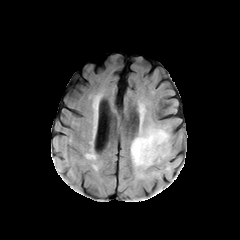
FLAIR MRI.
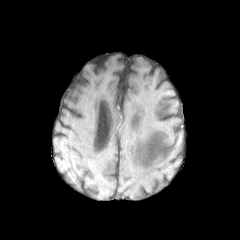
T1-weighted MRI.
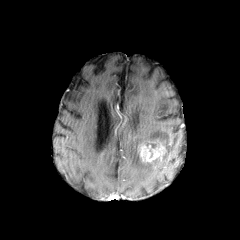
Post-contrast T1-weighted MR image of the same slice.
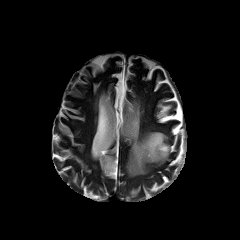
T2-weighted magnetic resonance.
Axial plane.
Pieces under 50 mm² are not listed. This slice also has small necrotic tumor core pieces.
peritumoral edema at 130:127:170:176
enhancing tumor at 138:138:166:163